Head, 240x240
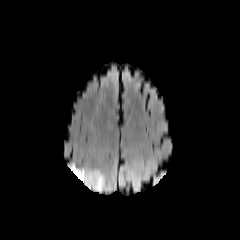
FLAIR MR.
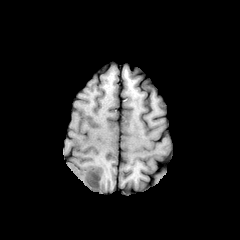
T1-weighted MR.
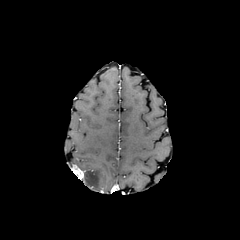
Same slice, post-contrast T1-weighted MR.
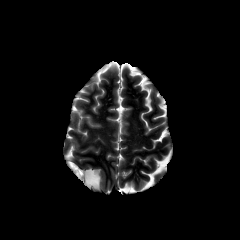
T2-weighted MR.
peritumoral edema: bounding box (81,170,104,190)
enhancing tumor: bounding box (70,164,84,179)